FLAIR MR.
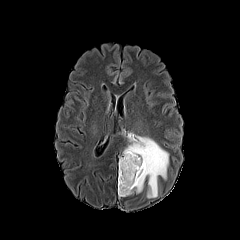
T1-weighted MRI.
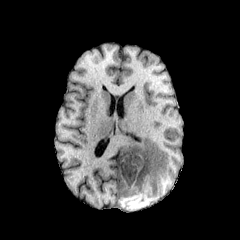
Post-contrast T1-weighted MR image.
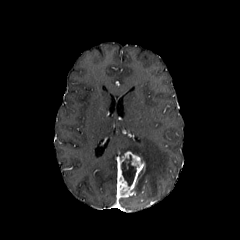
T2-weighted MR image.
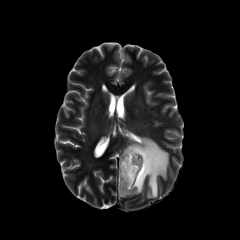
Head, Axial slice
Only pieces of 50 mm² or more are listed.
The largest necrotic tumor core region is bounded by region(121, 155, 136, 186). The largest enhancing tumor region is at region(117, 151, 145, 197). The peritumoral edema is at region(123, 136, 168, 198).